FLAIR MR.
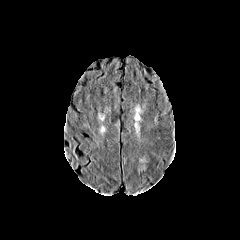
T1-weighted MRI.
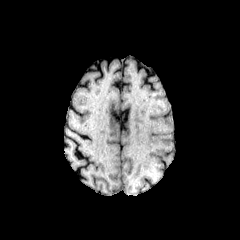
Post-contrast T1-weighted MR image.
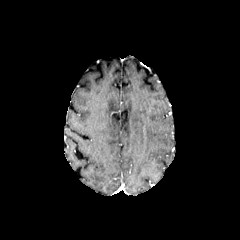
T2-weighted magnetic resonance.
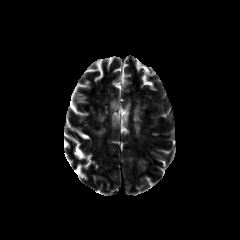
Brain, Image size 240x240
Annotated regions:
- peritumoral edema: <bbox>134, 106, 140, 127</bbox>